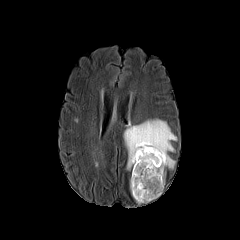
FLAIR magnetic resonance.
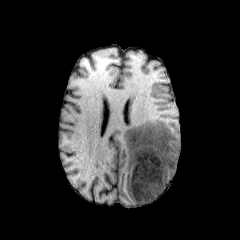
T1-weighted MR.
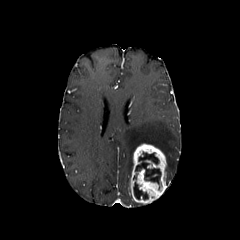
Post-contrast T1-weighted MR image.
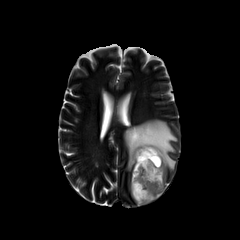
Same slice, T2-weighted MR.
Brain; Axial view; 240x240 px
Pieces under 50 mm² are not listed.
The 2 largest necrotic tumor core regions appear at <box>133,182,148,199</box>, <box>135,152,160,184</box>. The largest enhancing tumor region appears at <box>130,143,167,204</box>. The peritumoral edema appears at <box>123,119,177,170</box>.